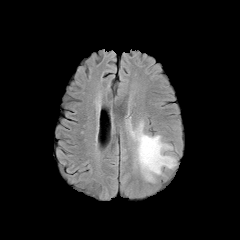
FLAIR MR image.
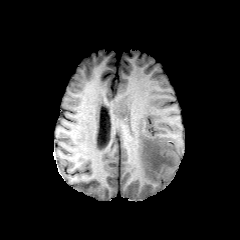
T1-weighted MR of the same slice.
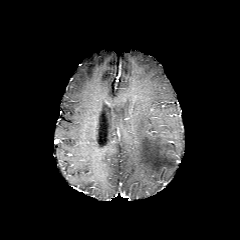
Same slice, post-contrast T1-weighted MRI.
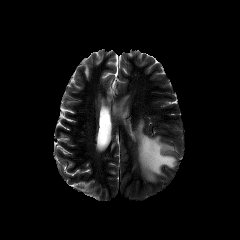
T2-weighted MRI.
Head.
{
  "peritumoral_edema": [
    "x1=130 y1=121 x2=176 y2=181"
  ]
}